Brain | Slice 82 of 155
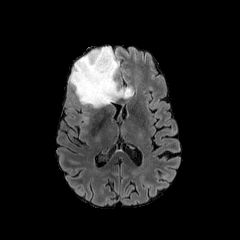
FLAIR MR image.
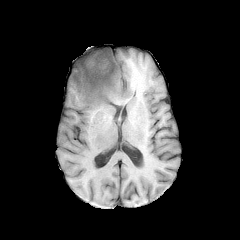
T1-weighted MR.
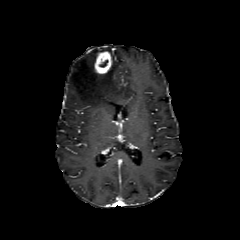
Post-contrast T1-weighted magnetic resonance.
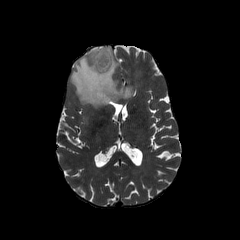
T2-weighted MR of the same slice.
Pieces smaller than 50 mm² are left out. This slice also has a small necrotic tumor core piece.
{
  "peritumoral_edema": [
    "bbox=[69, 47, 132, 108]"
  ],
  "enhancing_tumor": [
    "bbox=[94, 51, 112, 74]"
  ]
}